Axial plane | Head
FLAIR MRI.
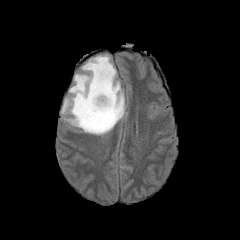
T1-weighted magnetic resonance.
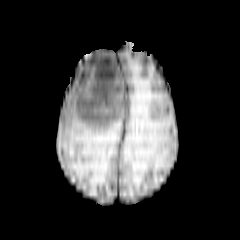
Post-contrast T1-weighted MR image.
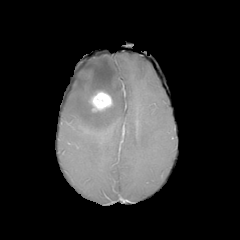
T2-weighted MR image.
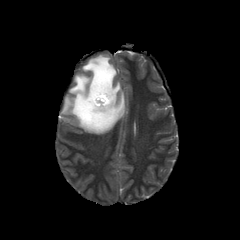
The peritumoral edema is located at rect(61, 55, 125, 135). The enhancing tumor is at rect(89, 90, 113, 112).